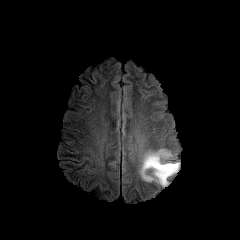
FLAIR MRI.
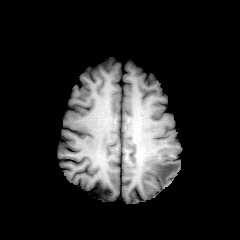
T1-weighted MRI of the same slice.
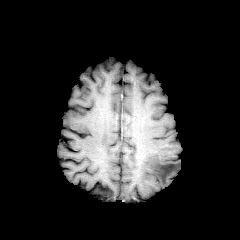
Post-contrast T1-weighted MR.
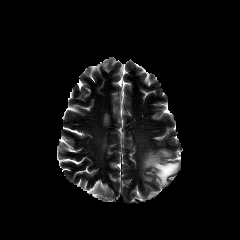
T2-weighted MR of the same slice.
Head. Image size 240x240.
peritumoral edema: box(142, 149, 179, 185)